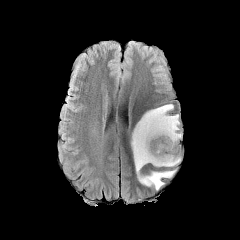
FLAIR MR image.
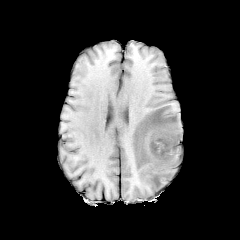
T1-weighted MR image of the same slice.
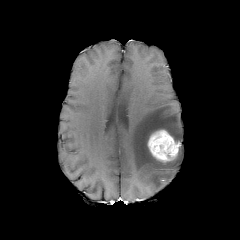
Post-contrast T1-weighted MRI of the same slice.
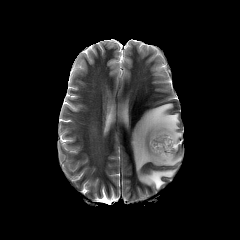
T2-weighted MRI of the same slice.
240x240 px; Brain
The enhancing tumor is located at x1=147, y1=129, x2=180, y2=162. The peritumoral edema is located at x1=131, y1=104, x2=182, y2=189.